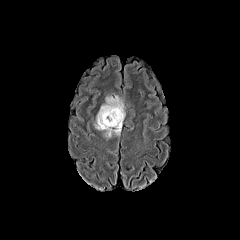
FLAIR MR image.
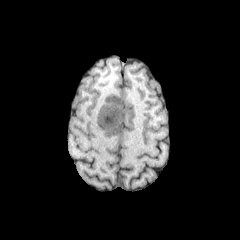
T1-weighted MRI.
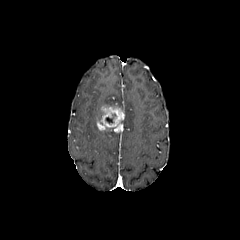
Post-contrast T1-weighted MR.
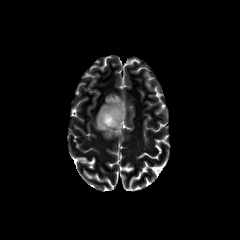
T2-weighted magnetic resonance.
Image size 240x240
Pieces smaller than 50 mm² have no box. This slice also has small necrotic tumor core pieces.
The enhancing tumor lies within (97,103,124,132). The 3 largest peritumoral edema regions are located at (104,128,120,137), (103,95,124,111), (94,108,102,129).